Image width 240 mm. Axial plane. Head.
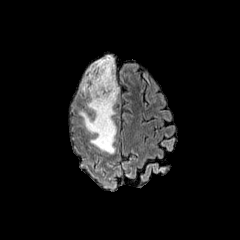
FLAIR MRI.
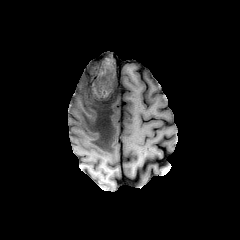
T1-weighted MRI.
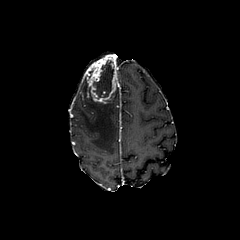
Post-contrast T1-weighted MR.
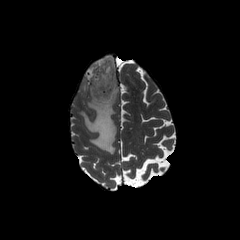
Same slice, T2-weighted MRI.
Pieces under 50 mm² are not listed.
necrotic tumor core: (93, 60, 113, 98) | peritumoral edema: (79, 55, 119, 153) | enhancing tumor: (85, 56, 118, 103)